Brain.
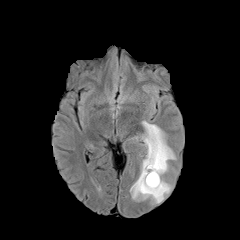
FLAIR MR image.
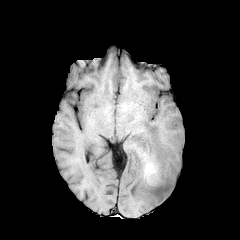
T1-weighted MR.
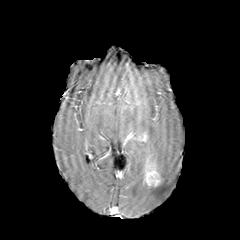
Post-contrast T1-weighted MR image.
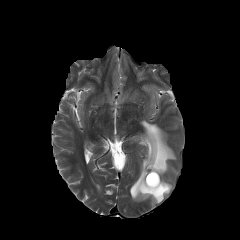
T2-weighted MRI.
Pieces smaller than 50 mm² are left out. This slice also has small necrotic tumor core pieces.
enhancing tumor: bounding box x1=144 y1=170 x2=159 y2=186
peritumoral edema: bounding box x1=130 y1=121 x2=175 y2=203